FLAIR MRI.
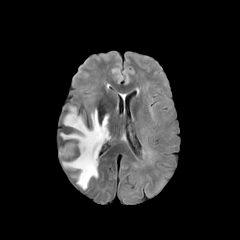
T1-weighted magnetic resonance.
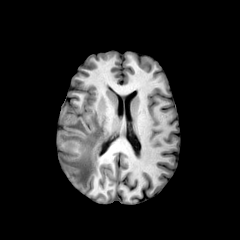
Post-contrast T1-weighted magnetic resonance.
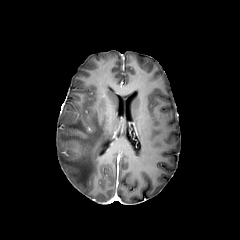
T2-weighted MR image.
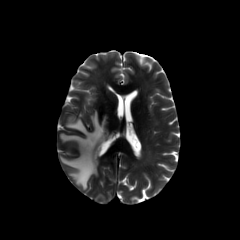
Axial view
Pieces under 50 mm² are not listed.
The largest peritumoral edema region appears at [x1=59, y1=111, x2=109, y2=189].